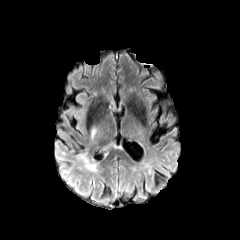
FLAIR MR.
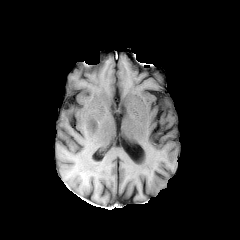
Same slice, T1-weighted MR.
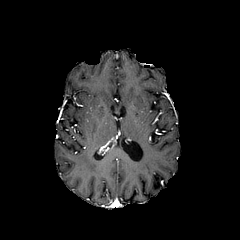
Post-contrast T1-weighted magnetic resonance.
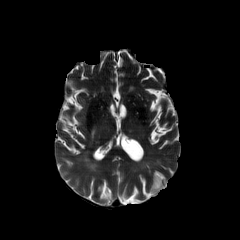
T2-weighted magnetic resonance of the same slice.
240x240
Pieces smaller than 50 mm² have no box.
peritumoral edema = (left=79, top=153, right=89, bottom=163)